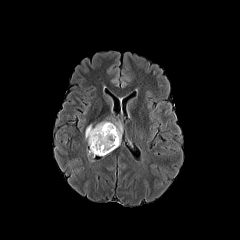
FLAIR magnetic resonance.
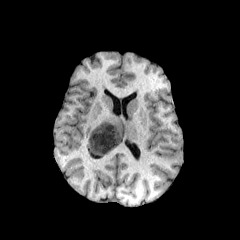
T1-weighted magnetic resonance.
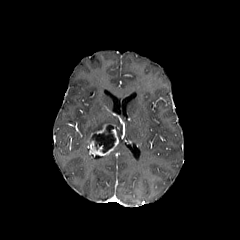
Post-contrast T1-weighted MR image.
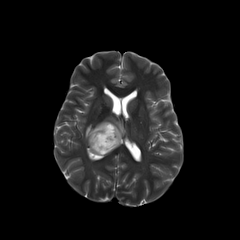
T2-weighted MR image of the same slice.
Head
The necrotic tumor core appears at {"x1": 90, "y1": 125, "x2": 115, "y2": 152}. The enhancing tumor appears at {"x1": 88, "y1": 124, "x2": 118, "y2": 155}. The peritumoral edema lies within {"x1": 85, "y1": 120, "x2": 121, "y2": 144}.